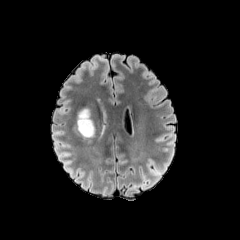
FLAIR magnetic resonance.
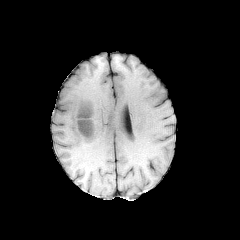
T1-weighted MR.
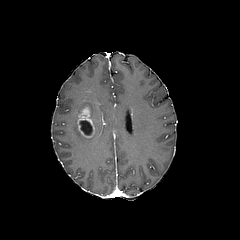
Post-contrast T1-weighted MR image.
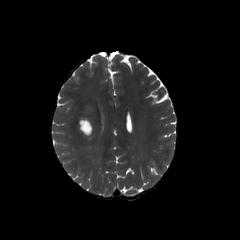
Same slice, T2-weighted magnetic resonance.
Head.
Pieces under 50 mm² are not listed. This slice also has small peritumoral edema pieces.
necrotic_tumor_core:
  - (left=80, top=121, right=92, bottom=135)
enhancing_tumor:
  - (left=78, top=107, right=94, bottom=137)